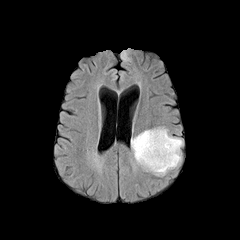
FLAIR MR image.
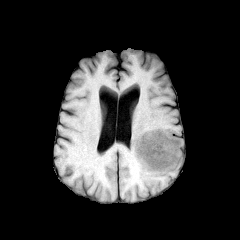
T1-weighted magnetic resonance of the same slice.
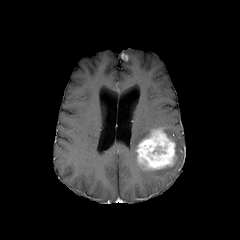
Post-contrast T1-weighted MRI.
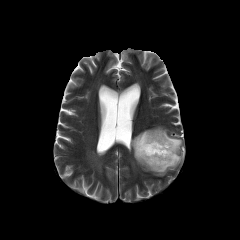
T2-weighted magnetic resonance.
Head
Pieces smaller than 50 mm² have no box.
Segmented structures:
• peritumoral edema: (131,129,151,161), (150,127,182,175)
• enhancing tumor: (135,128,177,170)